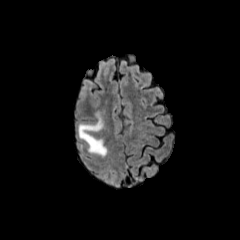
FLAIR MR image.
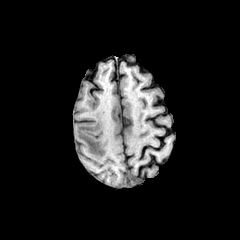
Same slice, T1-weighted MR.
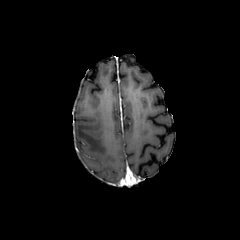
Post-contrast T1-weighted magnetic resonance of the same slice.
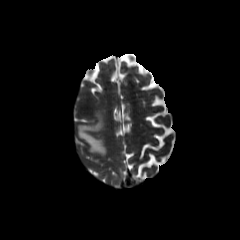
T2-weighted magnetic resonance.
240x240. Axial plane. Brain.
<segmentation>
  <peritumoral_edema>[77, 109, 107, 158]</peritumoral_edema>
</segmentation>